Brain | Image size 240x240 | Slice 68 of 155
FLAIR magnetic resonance.
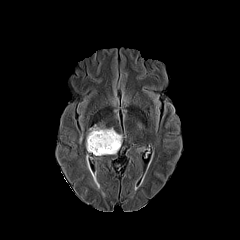
T1-weighted magnetic resonance.
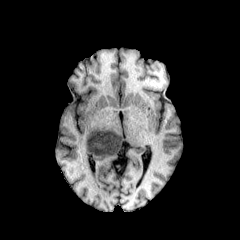
Post-contrast T1-weighted MR image.
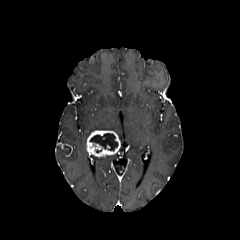
T2-weighted magnetic resonance.
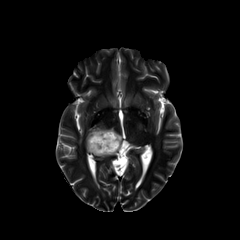
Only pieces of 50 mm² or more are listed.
enhancing tumor: (86, 130, 120, 157) | peritumoral edema: (87, 125, 115, 137) | necrotic tumor core: (89, 133, 118, 152)